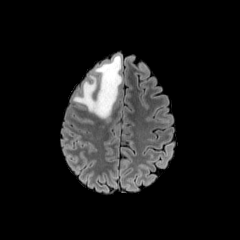
FLAIR MR.
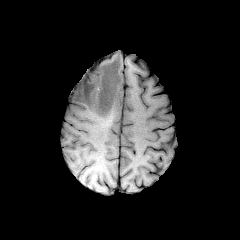
Same slice, T1-weighted MR image.
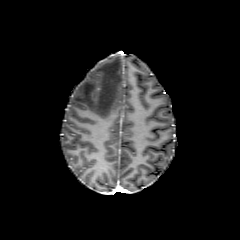
Post-contrast T1-weighted MR of the same slice.
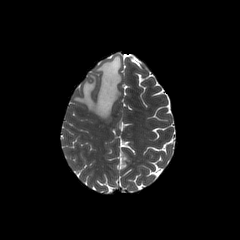
Same slice, T2-weighted MR.
Head, Axial slice, 240x240
peritumoral edema: bounding box 72 55 122 119